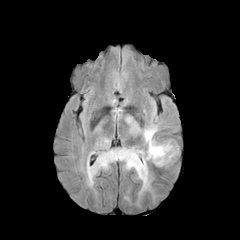
FLAIR magnetic resonance.
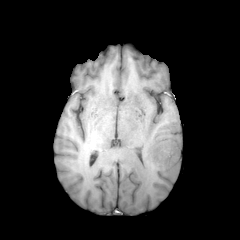
Same slice, T1-weighted magnetic resonance.
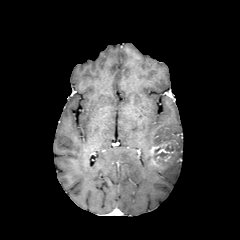
Post-contrast T1-weighted MRI of the same slice.
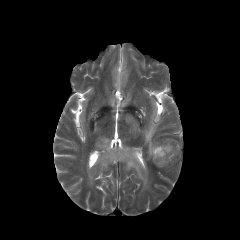
Same slice, T2-weighted MR.
Image size 240x240, Axial slice, Head
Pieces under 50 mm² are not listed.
The enhancing tumor is at [148,142,174,166]. The largest peritumoral edema region appears at [87,121,179,194]. The 2 largest necrotic tumor core regions are located at [153,152,171,162], [165,144,173,152].